Slice 76/155, Head, 240x240
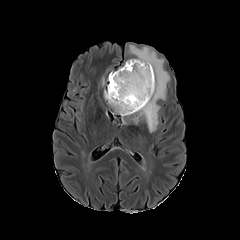
FLAIR MR.
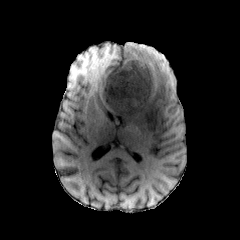
T1-weighted MRI.
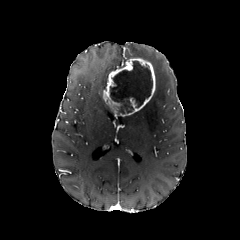
Post-contrast T1-weighted magnetic resonance.
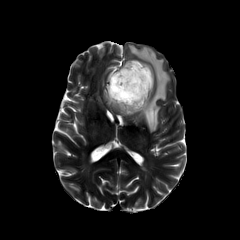
T2-weighted MRI.
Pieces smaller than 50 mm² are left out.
necrotic tumor core: [110, 61, 152, 113] | enhancing tumor: [103, 58, 155, 116] | peritumoral edema: [126, 46, 169, 132]